FLAIR MRI.
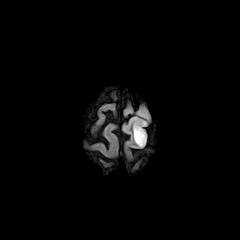
T1-weighted MR.
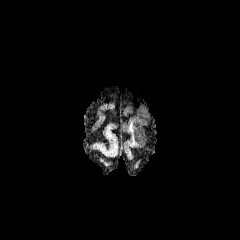
Post-contrast T1-weighted MR image.
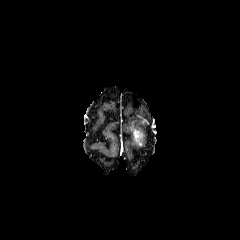
T2-weighted MRI.
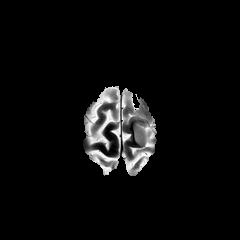
Brain; Image size 240x240; Axial slice
Segmented structures:
• enhancing tumor: <bbox>134, 130, 143, 144</bbox>
• peritumoral edema: <bbox>138, 111, 148, 119</bbox>, <bbox>128, 117, 147, 147</bbox>